FLAIR MR image.
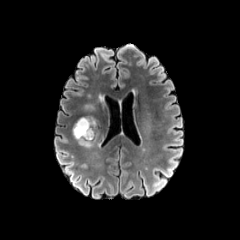
T1-weighted MR image.
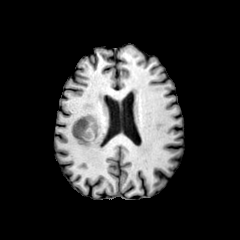
Post-contrast T1-weighted MR image.
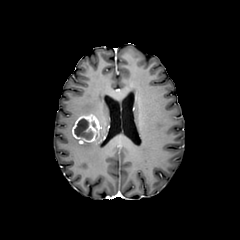
T2-weighted MRI.
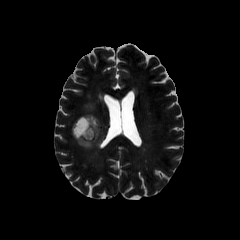
Axial slice. Brain.
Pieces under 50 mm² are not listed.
necrotic tumor core — x1=74, y1=119, x2=93, y2=139
enhancing tumor — x1=72, y1=115, x2=99, y2=143
peritumoral edema — x1=80, y1=142, x2=93, y2=147